FLAIR MR image.
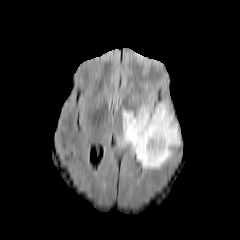
T1-weighted MR image.
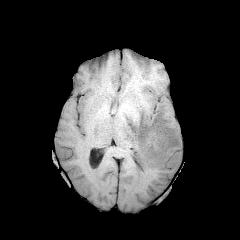
Post-contrast T1-weighted MRI.
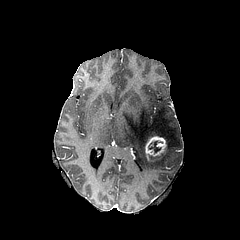
T2-weighted MR image.
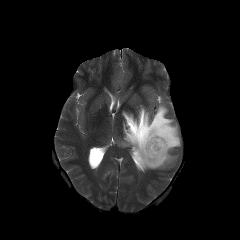
Head, Axial plane
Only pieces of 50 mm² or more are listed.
enhancing tumor: <box>145,135,166,160</box>
peritumoral edema: <box>119,101,180,169</box>
necrotic tumor core: <box>148,141,160,152</box>